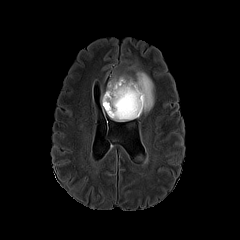
FLAIR MR image.
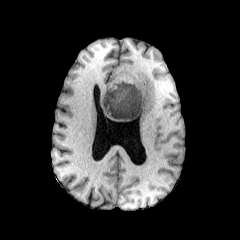
T1-weighted MR of the same slice.
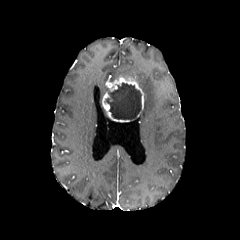
Post-contrast T1-weighted MR image.
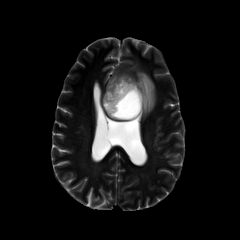
T2-weighted magnetic resonance of the same slice.
Head; Axial view; 240x240 px
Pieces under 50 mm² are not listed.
Segmented structures:
* peritumoral edema: 110, 74, 129, 81; 136, 71, 154, 115
* enhancing tumor: 107, 77, 144, 110; 102, 91, 141, 122
* necrotic tumor core: 105, 83, 141, 119